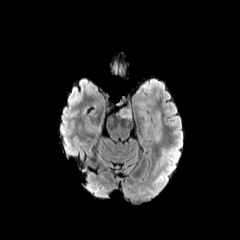
FLAIR MRI.
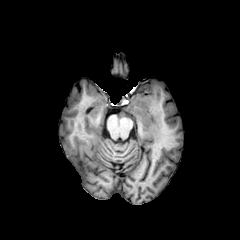
T1-weighted MRI of the same slice.
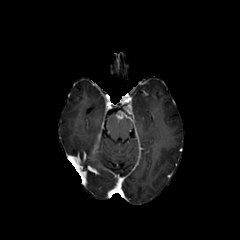
Same slice, post-contrast T1-weighted MRI.
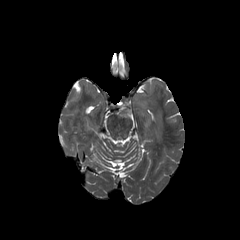
T2-weighted MR image of the same slice.
Axial view
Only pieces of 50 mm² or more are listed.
{"peritumoral_edema": ["bbox(135, 96, 162, 143)"], "enhancing_tumor": ["bbox(122, 103, 131, 114)", "bbox(116, 110, 130, 119)"]}